FLAIR MRI.
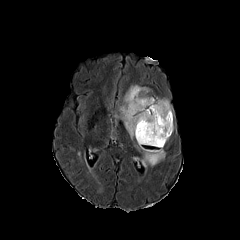
T1-weighted MR image.
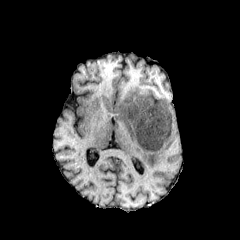
Post-contrast T1-weighted MR.
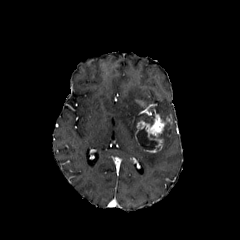
T2-weighted MR image.
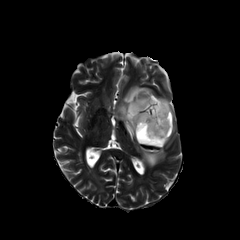
Axial plane
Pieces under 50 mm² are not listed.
3 peritumoral edema regions appear at <bbox>159, 123, 173, 147</bbox>, <bbox>137, 146, 165, 166</bbox>, <bbox>115, 85, 172, 139</bbox>. 2 enhancing tumor regions are located at <bbox>135, 107, 172, 152</bbox>, <bbox>136, 100, 151, 107</bbox>. The largest necrotic tumor core region appears at <bbox>136, 128, 157, 149</bbox>.